Axial view. Head. Image width 240 mm.
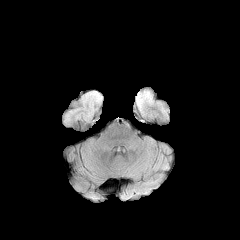
FLAIR MR image.
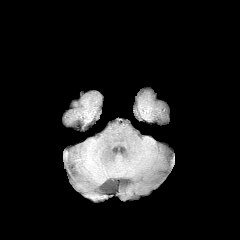
T1-weighted MRI of the same slice.
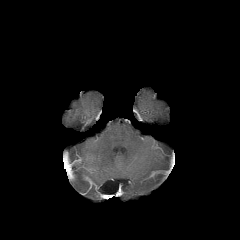
Post-contrast T1-weighted MR image of the same slice.
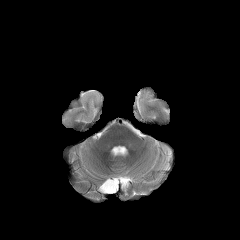
T2-weighted MR of the same slice.
peritumoral edema = {"x1": 136, "y1": 91, "x2": 153, "y2": 112}